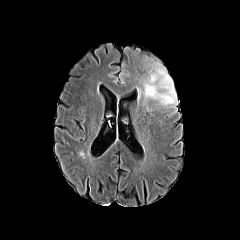
FLAIR MRI.
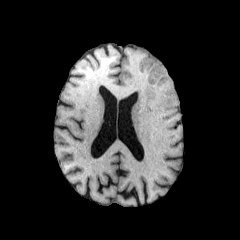
Same slice, T1-weighted magnetic resonance.
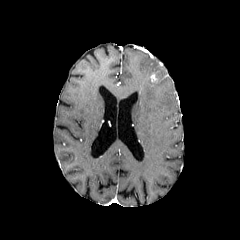
Post-contrast T1-weighted MR image of the same slice.
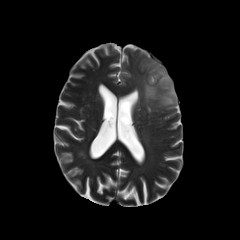
Same slice, T2-weighted MR.
Brain
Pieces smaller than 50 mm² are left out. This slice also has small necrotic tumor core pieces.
enhancing tumor: (x1=149, y1=71, x2=160, y2=83) | peritumoral edema: (x1=140, y1=60, x2=177, y2=110)